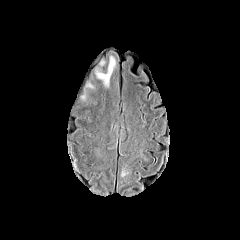
FLAIR magnetic resonance.
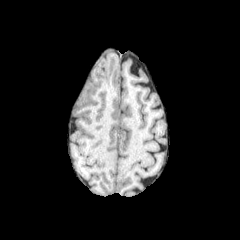
Same slice, T1-weighted magnetic resonance.
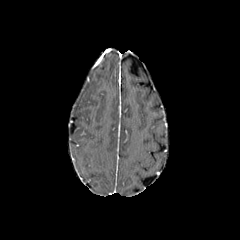
Post-contrast T1-weighted MR of the same slice.
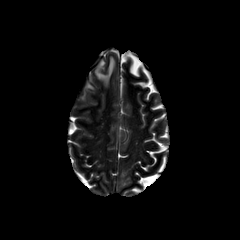
T2-weighted magnetic resonance.
Brain
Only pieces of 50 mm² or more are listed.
The 2 largest peritumoral edema regions are located at (96,57,114,86), (81,83,92,100).